Head; Slice 121 of 155
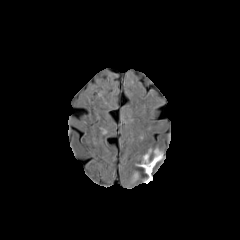
FLAIR MRI.
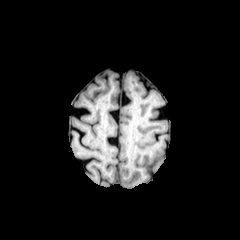
Same slice, T1-weighted MRI.
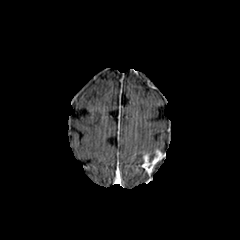
Post-contrast T1-weighted MRI.
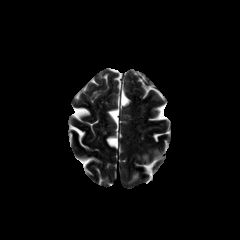
Same slice, T2-weighted MR image.
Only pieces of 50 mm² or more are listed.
The largest peritumoral edema region appears at (x1=146, y1=148, x2=159, y2=159). The enhancing tumor appears at (x1=141, y1=149, x2=164, y2=183).